FLAIR MRI.
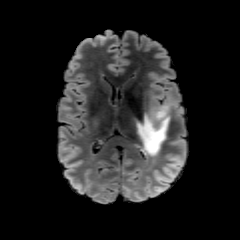
T1-weighted magnetic resonance.
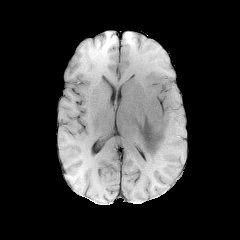
Post-contrast T1-weighted MR image.
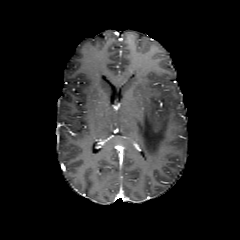
T2-weighted MR.
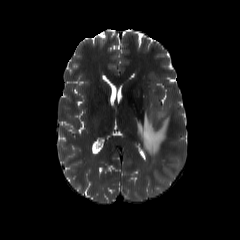
Head
The peritumoral edema is at l=137, t=103, r=170, b=156.